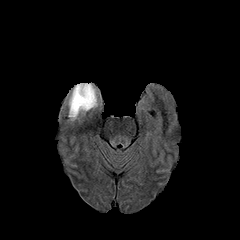
FLAIR MRI.
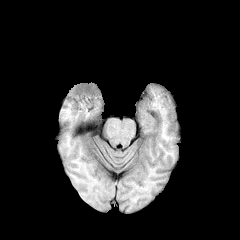
T1-weighted magnetic resonance.
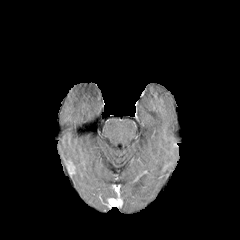
Post-contrast T1-weighted magnetic resonance of the same slice.
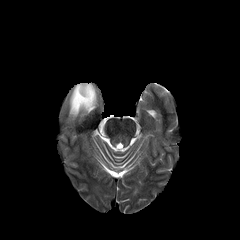
T2-weighted MR.
peritumoral edema = [x1=69, y1=83, x2=97, y2=119]